FLAIR MR image.
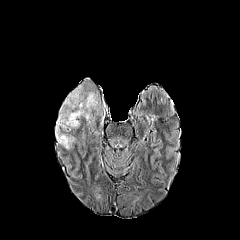
T1-weighted magnetic resonance.
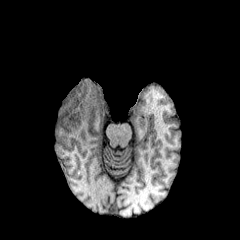
Post-contrast T1-weighted MR.
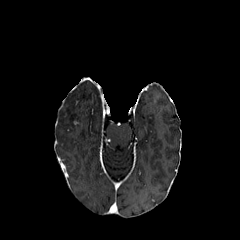
T2-weighted MRI.
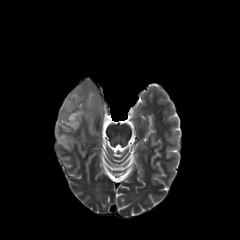
Brain | Axial slice
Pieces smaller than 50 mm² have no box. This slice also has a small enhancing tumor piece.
<segmentation>
  <peritumoral_edema>rect(56, 85, 101, 149)</peritumoral_edema>
</segmentation>